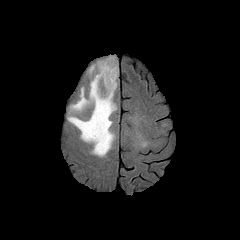
FLAIR magnetic resonance.
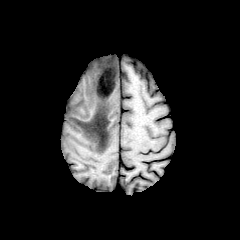
T1-weighted MR image of the same slice.
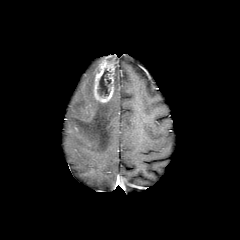
Post-contrast T1-weighted MR image.
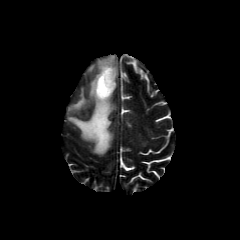
Same slice, T2-weighted MR.
Brain
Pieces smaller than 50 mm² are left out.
necrotic tumor core: 98,70,110,95 | peritumoral edema: 114,64,118,89; 67,60,116,156 | enhancing tumor: 93,55,117,102